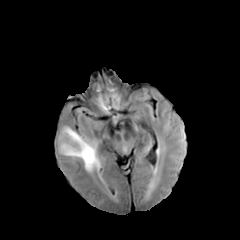
FLAIR magnetic resonance.
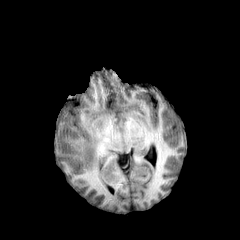
Same slice, T1-weighted MRI.
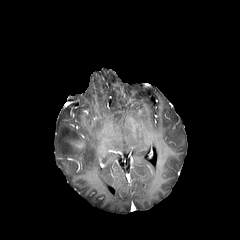
Post-contrast T1-weighted MR image.
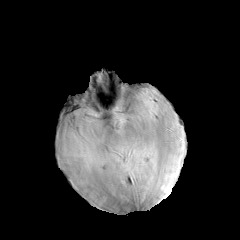
T2-weighted magnetic resonance.
Head; 240x240
enhancing tumor — l=74, t=142, r=84, b=148
peritumoral edema — l=61, t=128, r=100, b=171